FLAIR MR.
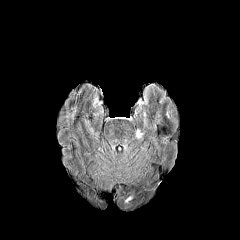
T1-weighted magnetic resonance.
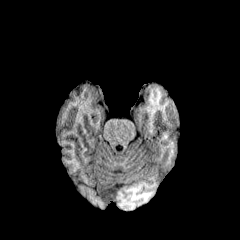
Post-contrast T1-weighted MR image.
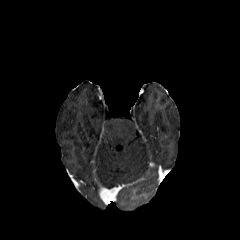
T2-weighted magnetic resonance.
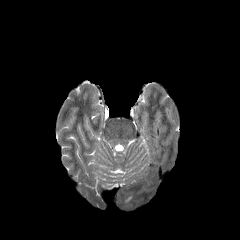
Axial view | Image size 240x240 | Brain
The peritumoral edema is located at [x1=123, y1=194, x2=133, y2=203].